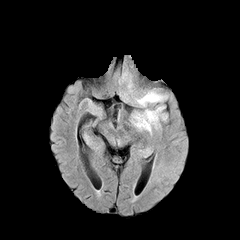
FLAIR magnetic resonance.
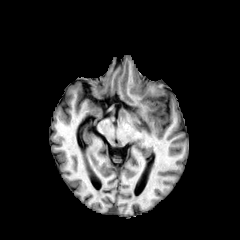
T1-weighted MR image.
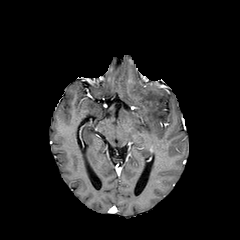
Post-contrast T1-weighted MRI.
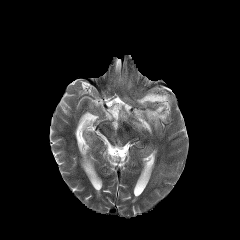
T2-weighted magnetic resonance.
Axial view, Brain
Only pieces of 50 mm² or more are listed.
peritumoral_edema:
  - region(136, 90, 167, 106)
  - region(133, 106, 166, 133)